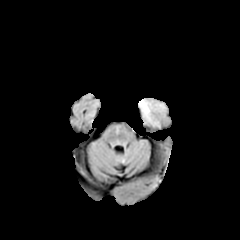
FLAIR magnetic resonance.
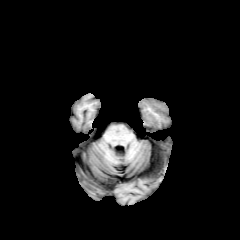
Same slice, T1-weighted MR image.
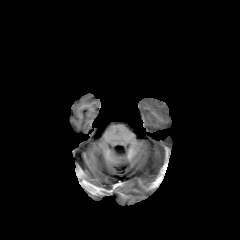
Post-contrast T1-weighted magnetic resonance.
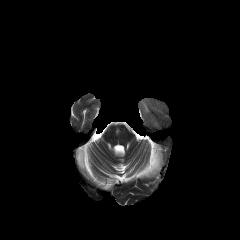
T2-weighted MRI.
Brain
peritumoral edema: (138, 99, 164, 121)